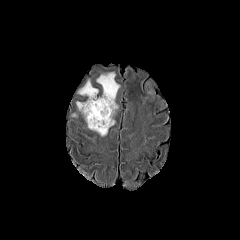
FLAIR magnetic resonance.
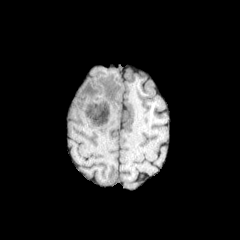
Same slice, T1-weighted magnetic resonance.
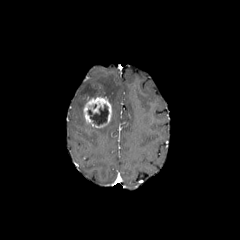
Post-contrast T1-weighted MRI of the same slice.
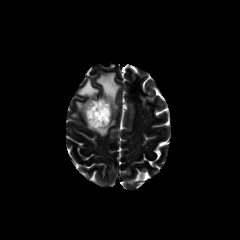
Same slice, T2-weighted MR.
240x240 px; Brain
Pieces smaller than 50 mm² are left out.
peritumoral edema: bounding box x1=76 y1=101 x2=85 y2=113, x1=87 y1=72 x2=119 y2=136, x1=78 y1=80 x2=98 y2=100
enhancing tumor: bounding box x1=83 y1=96 x2=112 y2=128
necrotic tumor core: bounding box x1=88 y1=105 x2=108 y2=125